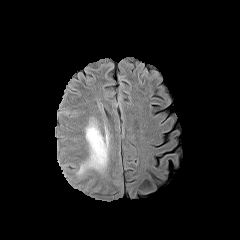
FLAIR MR image.
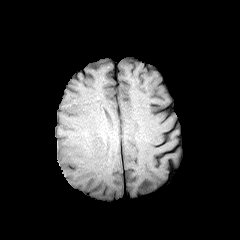
T1-weighted magnetic resonance of the same slice.
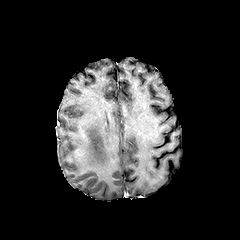
Post-contrast T1-weighted MR.
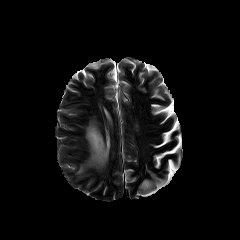
T2-weighted MRI of the same slice.
Image size 240x240 | Brain
{"peritumoral_edema": ["box(78, 122, 109, 173)"]}